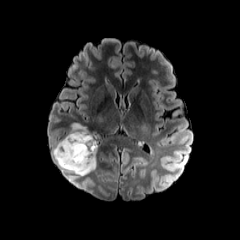
FLAIR MRI.
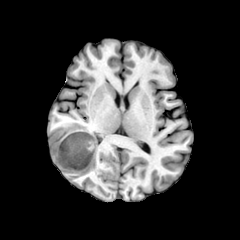
T1-weighted MR of the same slice.
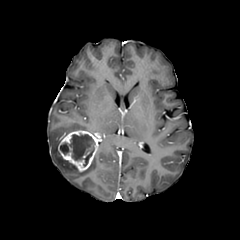
Same slice, post-contrast T1-weighted MR.
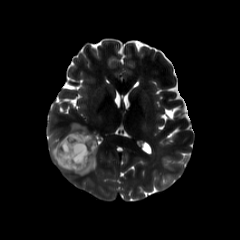
T2-weighted MR image.
Head; Axial plane
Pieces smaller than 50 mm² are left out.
peritumoral edema at x1=69, y1=123, x2=87, y2=132; x1=51, y1=139, x2=96, y2=175
necrotic tumor core at x1=60, y1=134, x2=95, y2=166
enhancing tumor at x1=58, y1=130, x2=98, y2=171